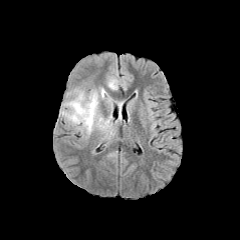
FLAIR MRI.
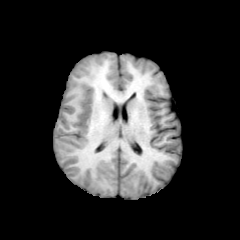
T1-weighted magnetic resonance.
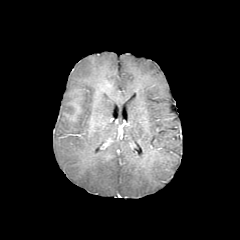
Post-contrast T1-weighted MR image of the same slice.
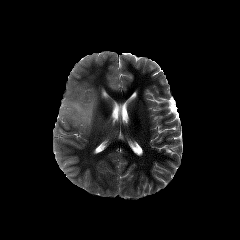
Same slice, T2-weighted magnetic resonance.
Head, Axial view
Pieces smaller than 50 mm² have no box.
peritumoral_edema:
  - bbox(108, 79, 116, 89)
  - bbox(62, 91, 98, 134)